Image width 240 mm; 240x240 px
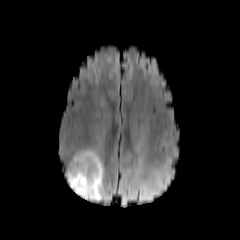
FLAIR MR image.
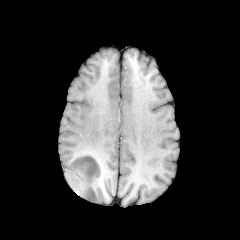
Same slice, T1-weighted MR.
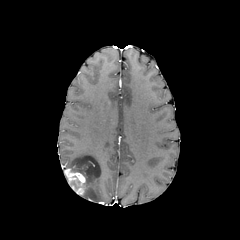
Post-contrast T1-weighted magnetic resonance.
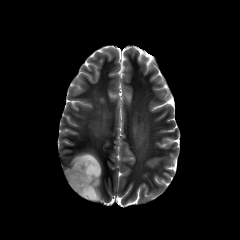
T2-weighted MRI.
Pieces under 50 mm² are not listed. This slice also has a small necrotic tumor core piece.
peritumoral_edema:
  - 69 150 104 201
enhancing_tumor:
  - 64 168 86 195